240x240
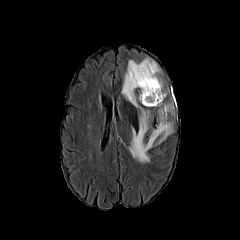
FLAIR MRI.
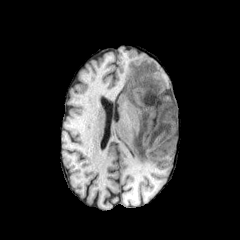
T1-weighted magnetic resonance.
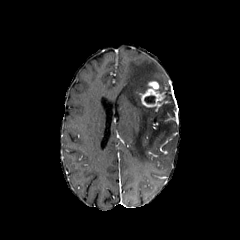
Post-contrast T1-weighted MRI.
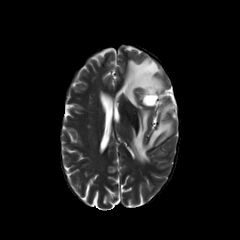
Same slice, T2-weighted MRI.
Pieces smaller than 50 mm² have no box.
enhancing_tumor:
  - [140, 81, 164, 107]
peritumoral_edema:
  - [121, 58, 173, 163]
necrotic_tumor_core:
  - [144, 95, 155, 103]